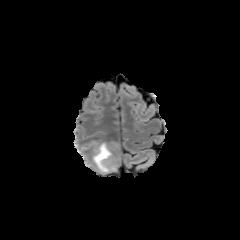
FLAIR MR.
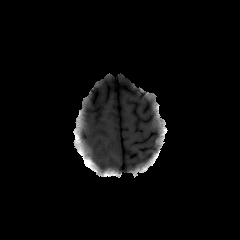
Same slice, T1-weighted MR image.
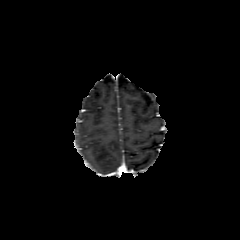
Same slice, post-contrast T1-weighted MRI.
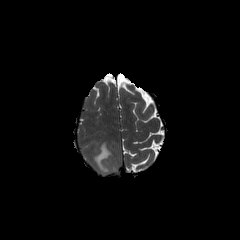
T2-weighted magnetic resonance.
Image size 240x240, Brain
peritumoral edema: box(90, 142, 115, 173)